FLAIR MR image.
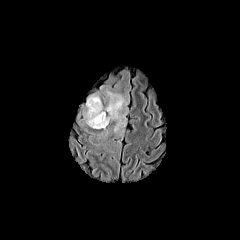
T1-weighted magnetic resonance.
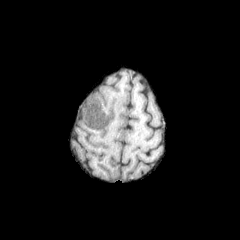
Post-contrast T1-weighted MRI.
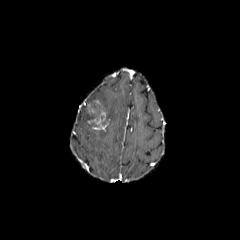
T2-weighted MR.
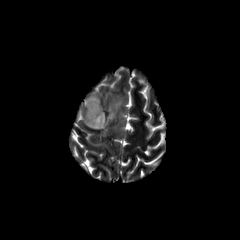
Head
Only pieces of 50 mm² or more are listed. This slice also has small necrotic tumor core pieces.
The largest peritumoral edema region is located at [x1=82, y1=91, x2=126, y2=132]. The enhancing tumor is located at [x1=87, y1=100, x2=109, y2=130].